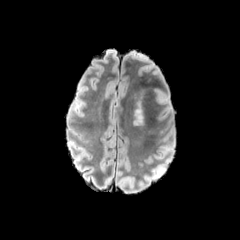
FLAIR MR.
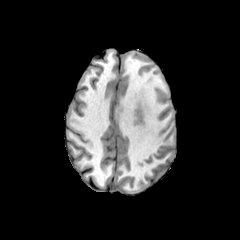
T1-weighted magnetic resonance.
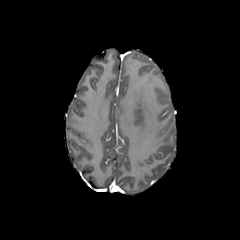
Post-contrast T1-weighted MR image.
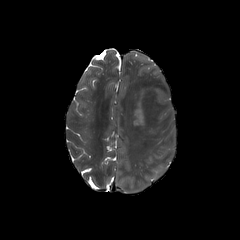
T2-weighted magnetic resonance.
Head; Axial view; 240x240 px
peritumoral edema: [133,102,143,125]